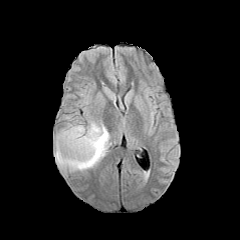
FLAIR MRI.
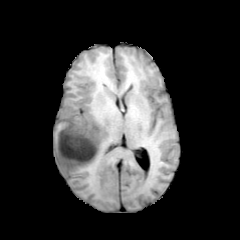
Same slice, T1-weighted MR.
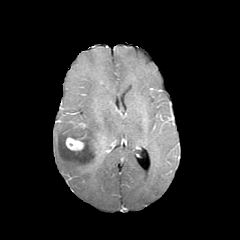
Post-contrast T1-weighted MR.
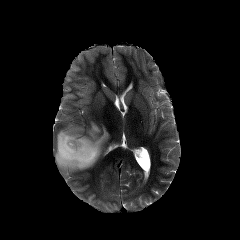
T2-weighted MR image.
Head
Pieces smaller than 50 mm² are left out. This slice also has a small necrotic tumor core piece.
peritumoral edema at [54,120,110,173]
enhancing tumor at [66,137,84,151]